FLAIR MRI.
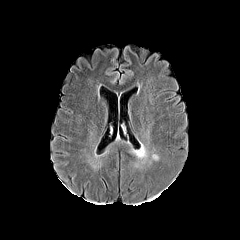
T1-weighted MR image.
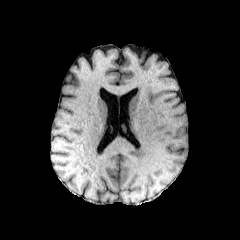
Post-contrast T1-weighted MR image.
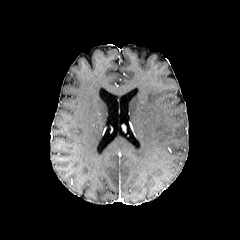
T2-weighted magnetic resonance.
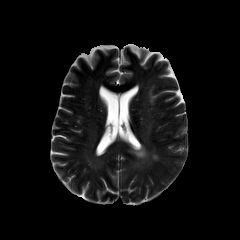
Axial view
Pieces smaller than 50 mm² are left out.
peritumoral edema: rect(134, 145, 148, 163)